Slice 78/155. Image covers 240 mm x 240 mm.
FLAIR MR.
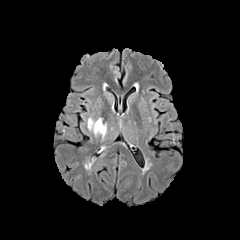
T1-weighted MR image.
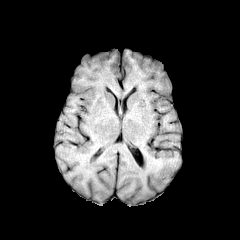
Post-contrast T1-weighted MR image.
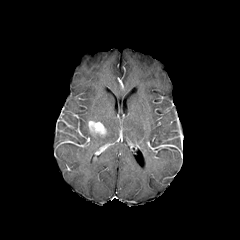
T2-weighted MRI.
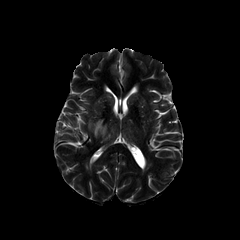
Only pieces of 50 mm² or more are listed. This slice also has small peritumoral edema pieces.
enhancing_tumor:
  - {"x1": 88, "y1": 121, "x2": 106, "y2": 135}